Axial slice, Head
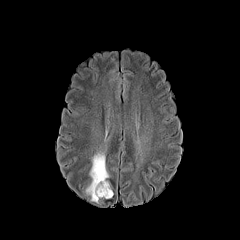
FLAIR MR.
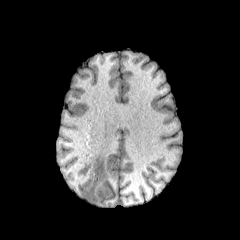
T1-weighted MR image.
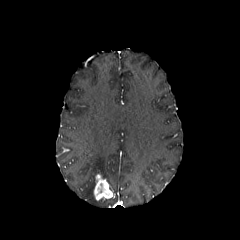
Post-contrast T1-weighted MR image.
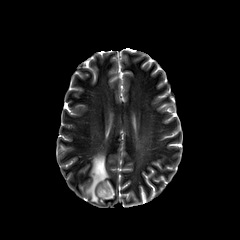
T2-weighted magnetic resonance of the same slice.
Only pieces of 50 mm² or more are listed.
peritumoral edema: bounding box x1=85, y1=152, x2=109, y2=203
enhancing tumor: bounding box x1=94, y1=174, x2=113, y2=200
necrotic tumor core: bounding box x1=96, y1=182, x2=109, y2=196